FLAIR MRI.
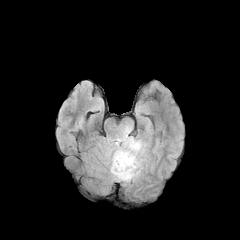
T1-weighted MR image.
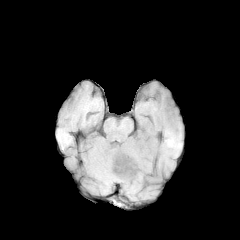
Post-contrast T1-weighted MRI.
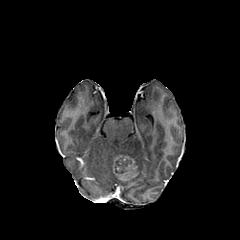
T2-weighted MR.
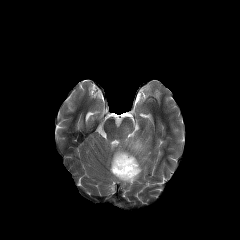
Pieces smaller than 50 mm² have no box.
Annotated regions:
- enhancing tumor: {"x1": 113, "y1": 155, "x2": 138, "y2": 181}
- necrotic tumor core: {"x1": 115, "y1": 160, "x2": 131, "y2": 173}
- peritumoral edema: {"x1": 103, "y1": 124, "x2": 145, "y2": 185}